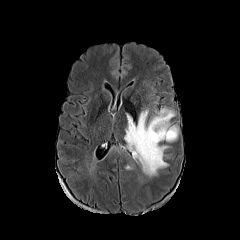
FLAIR magnetic resonance.
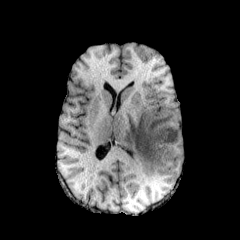
Same slice, T1-weighted magnetic resonance.
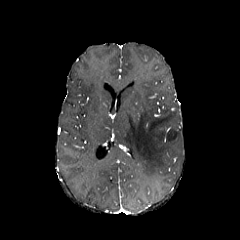
Post-contrast T1-weighted MRI.
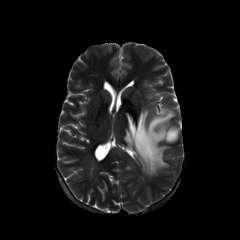
T2-weighted magnetic resonance.
Brain | 240x240 | Axial slice
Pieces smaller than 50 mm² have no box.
peritumoral edema: (124, 108, 178, 176)